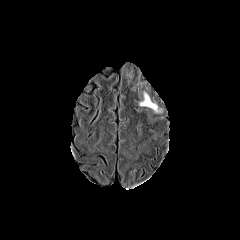
FLAIR magnetic resonance.
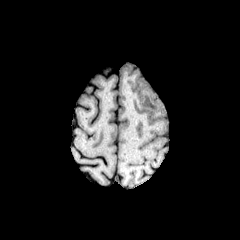
T1-weighted magnetic resonance.
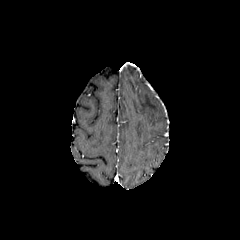
Post-contrast T1-weighted magnetic resonance.
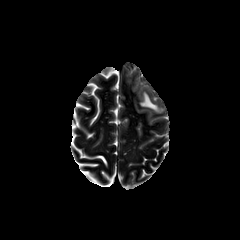
T2-weighted magnetic resonance of the same slice.
Axial slice
The peritumoral edema is located at (140, 93, 160, 112).